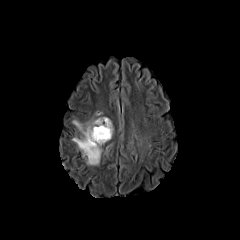
FLAIR MR image.
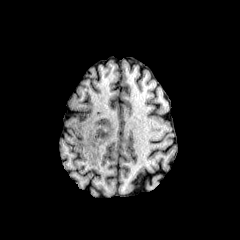
Same slice, T1-weighted magnetic resonance.
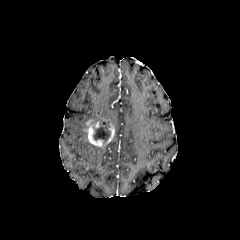
Post-contrast T1-weighted MR.
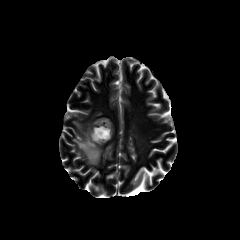
T2-weighted magnetic resonance.
Axial view
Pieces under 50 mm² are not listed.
enhancing_tumor:
  - region(84, 121, 103, 146)
  - region(105, 122, 114, 143)
necrotic_tumor_core:
  - region(93, 119, 110, 143)
peritumoral_edema:
  - region(72, 120, 102, 165)